Head, Image size 240x240
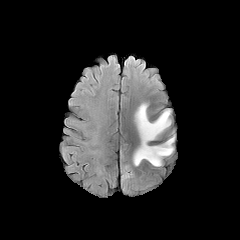
FLAIR MR.
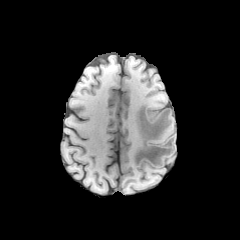
T1-weighted magnetic resonance.
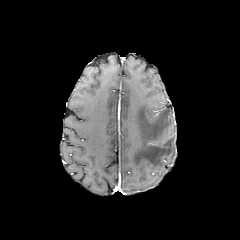
Post-contrast T1-weighted MR image.
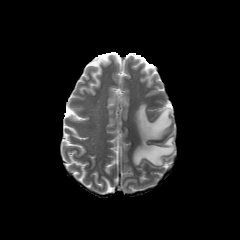
T2-weighted magnetic resonance.
<segmentation>
  <peritumoral_edema><bbox>133, 103, 174, 166</bbox></peritumoral_edema>
</segmentation>